Slice 109 of 155; Image width 240 mm; Brain
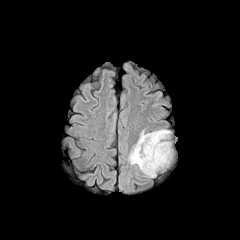
FLAIR MRI.
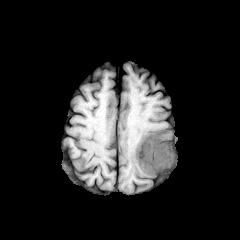
Same slice, T1-weighted magnetic resonance.
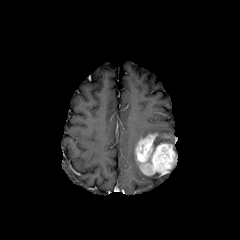
Post-contrast T1-weighted MRI of the same slice.
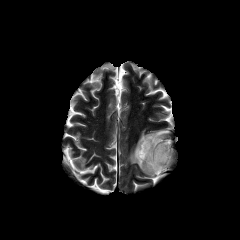
Same slice, T2-weighted MR image.
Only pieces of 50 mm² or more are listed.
peritumoral edema at [138,129,170,148], [128,144,137,164]
enhancing tumor at [135,133,176,175]